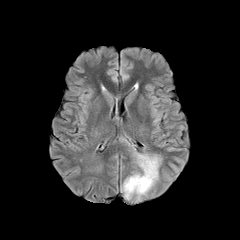
FLAIR magnetic resonance.
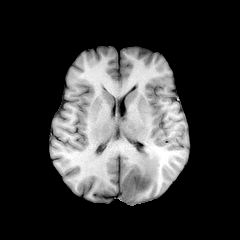
Same slice, T1-weighted magnetic resonance.
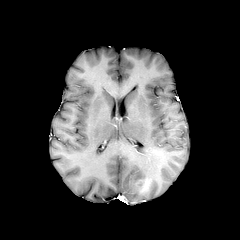
Same slice, post-contrast T1-weighted MRI.
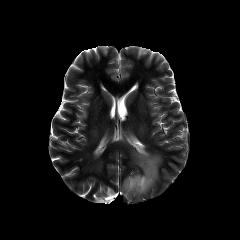
T2-weighted magnetic resonance of the same slice.
Axial slice.
enhancing tumor: bounding box 135,178,151,192
peritumoral edema: bounding box 121,153,161,199